FLAIR magnetic resonance.
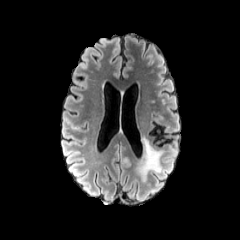
T1-weighted magnetic resonance.
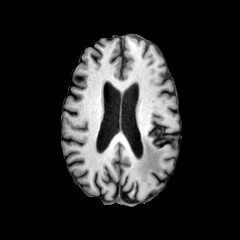
Post-contrast T1-weighted MRI.
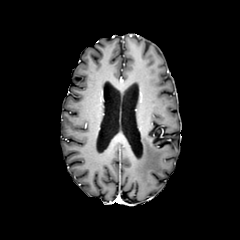
T2-weighted MRI.
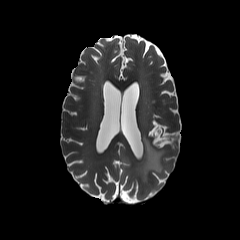
Axial slice | 240x240
peritumoral edema: bounding box 134, 136, 162, 182